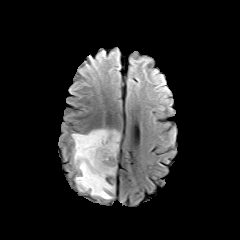
FLAIR MR image.
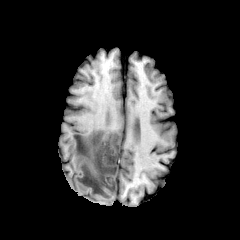
T1-weighted MR.
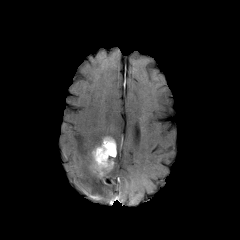
Same slice, post-contrast T1-weighted MRI.
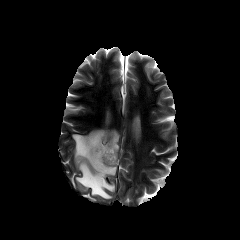
T2-weighted MRI of the same slice.
Axial view, Image size 240x240
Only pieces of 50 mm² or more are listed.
{
  "enhancing_tumor": [
    "left=91, top=137, right=116, bottom=178"
  ],
  "peritumoral_edema": [
    "left=72, top=129, right=120, bottom=199"
  ]
}